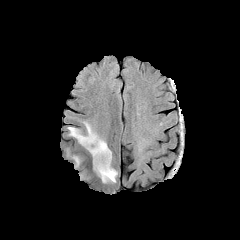
FLAIR magnetic resonance.
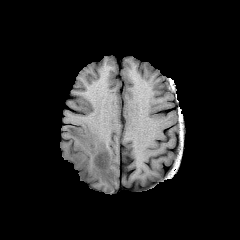
T1-weighted MRI of the same slice.
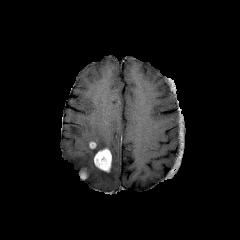
Post-contrast T1-weighted MRI.
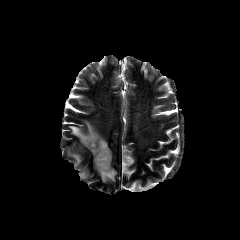
T2-weighted MRI of the same slice.
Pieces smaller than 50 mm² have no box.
Findings:
- peritumoral edema: {"x1": 71, "y1": 154, "x2": 81, "y2": 168}, {"x1": 68, "y1": 121, "x2": 117, "y2": 183}
- enhancing tumor: {"x1": 89, "y1": 141, "x2": 96, "y2": 148}, {"x1": 79, "y1": 170, "x2": 87, "y2": 179}, {"x1": 94, "y1": 148, "x2": 111, "y2": 172}